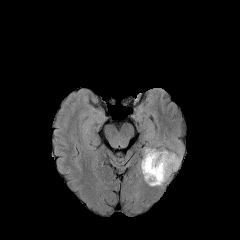
FLAIR MRI.
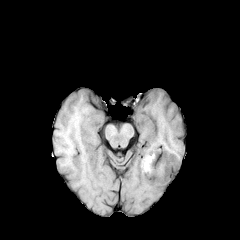
T1-weighted MRI.
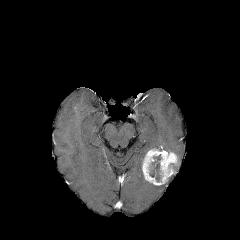
Post-contrast T1-weighted magnetic resonance of the same slice.
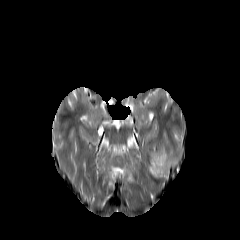
T2-weighted MR image.
Axial plane
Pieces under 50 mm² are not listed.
enhancing tumor = (x1=142, y1=149, x2=178, y2=185)
necrotic tumor core = (x1=149, y1=155, x2=160, y2=181)
peritumoral edema = (x1=173, y1=147, x2=182, y2=170), (x1=140, y1=147, x2=155, y2=173)